240x240 px, Brain, Axial view, Slice index 118
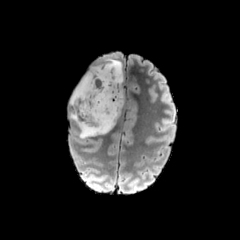
FLAIR MR image.
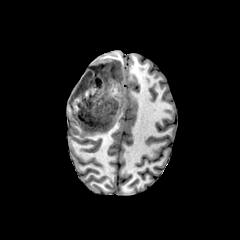
Same slice, T1-weighted MR image.
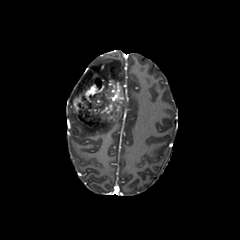
Same slice, post-contrast T1-weighted magnetic resonance.
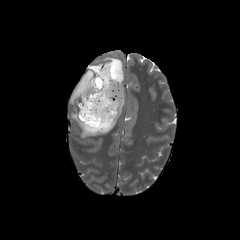
T2-weighted MR image.
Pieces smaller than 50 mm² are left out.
necrotic_tumor_core:
  - (81, 74, 103, 92)
  - (79, 110, 100, 122)
enhancing_tumor:
  - (73, 67, 124, 127)
peritumoral_edema:
  - (70, 58, 123, 105)
  - (70, 108, 121, 138)